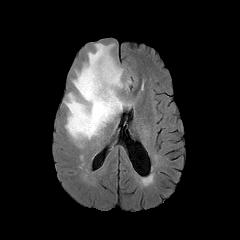
FLAIR MRI.
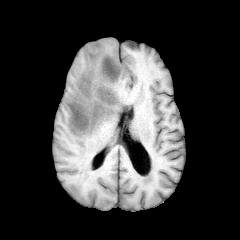
T1-weighted MRI of the same slice.
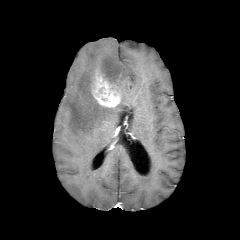
Post-contrast T1-weighted MR image.
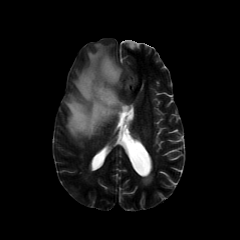
T2-weighted magnetic resonance of the same slice.
Axial slice, 240x240 px
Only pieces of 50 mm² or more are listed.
The enhancing tumor is bounded by x1=92, y1=72, x2=120, y2=107. The largest peritumoral edema region appears at x1=64, y1=43, x2=131, y2=146.